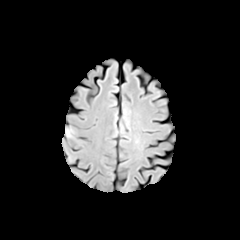
FLAIR MR image.
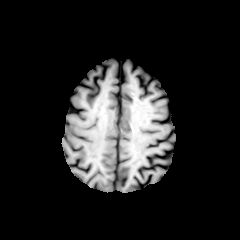
T1-weighted MR image of the same slice.
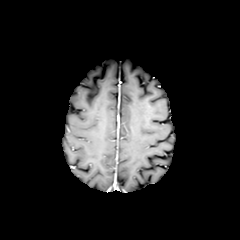
Post-contrast T1-weighted MRI.
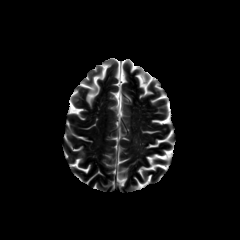
T2-weighted MR of the same slice.
peritumoral edema: [65, 128, 74, 137]